Brain. Slice index 75.
FLAIR MRI.
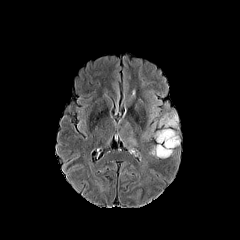
T1-weighted magnetic resonance.
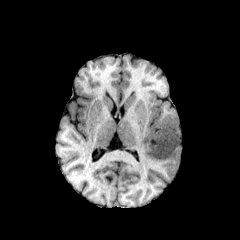
Post-contrast T1-weighted magnetic resonance.
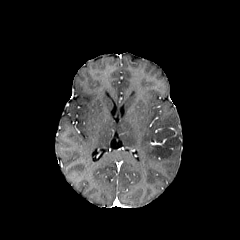
T2-weighted MR image.
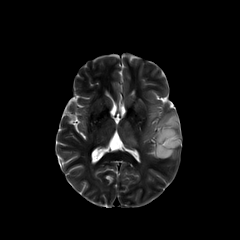
peritumoral edema: [124,139,136,147], [150,129,179,158], [159,112,178,128]